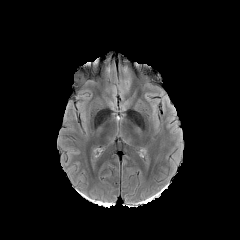
FLAIR MR.
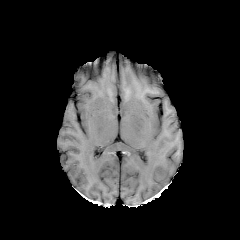
T1-weighted MR image.
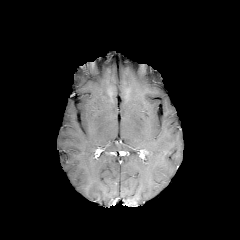
Post-contrast T1-weighted MRI of the same slice.
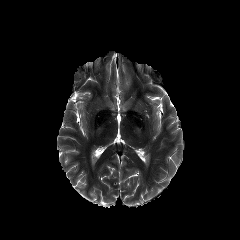
Same slice, T2-weighted MR image.
Head. Axial plane. 240x240.
* peritumoral edema: left=122, top=77, right=130, bottom=89